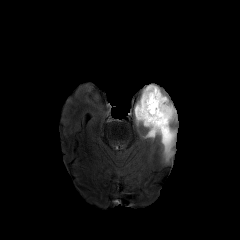
FLAIR magnetic resonance.
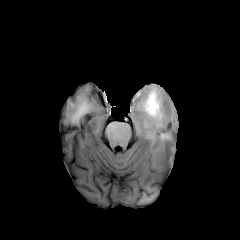
T1-weighted MR image.
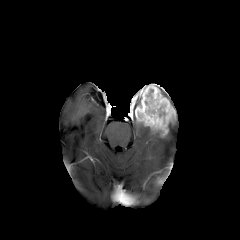
Post-contrast T1-weighted MRI of the same slice.
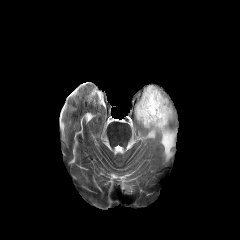
Same slice, T2-weighted MRI.
Head. Axial plane. 240x240.
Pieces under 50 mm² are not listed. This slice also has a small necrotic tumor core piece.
peritumoral_edema:
  - [134, 96, 176, 162]
enhancing_tumor:
  - [135, 84, 176, 135]